FLAIR magnetic resonance.
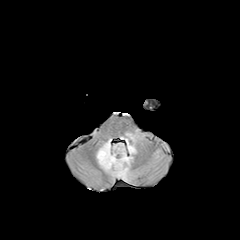
T1-weighted MR.
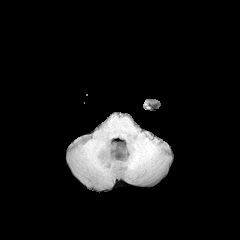
Post-contrast T1-weighted MR.
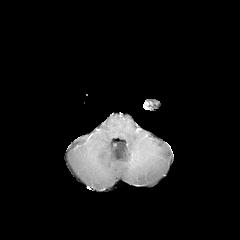
T2-weighted MR.
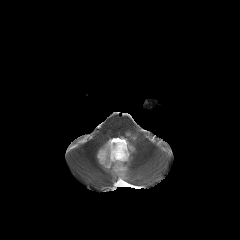
Head | Axial slice
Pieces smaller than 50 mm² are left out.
peritumoral edema: (96, 139, 132, 179), (126, 139, 135, 154)